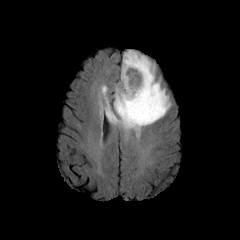
FLAIR MRI.
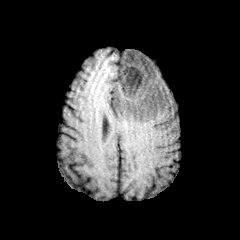
T1-weighted magnetic resonance of the same slice.
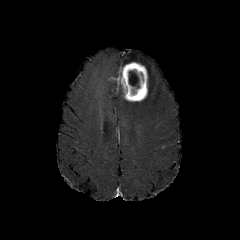
Post-contrast T1-weighted MRI.
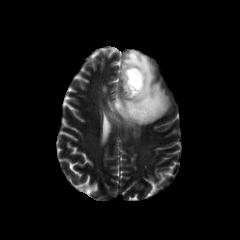
T2-weighted magnetic resonance.
240x240, Brain, Axial view
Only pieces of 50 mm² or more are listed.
enhancing tumor — [117,62,148,101]
necrotic tumor core — [129,71,139,87]
peritumoral edema — [102,50,170,130]